Image width 240 mm, 240x240 px, Slice 92 of 155
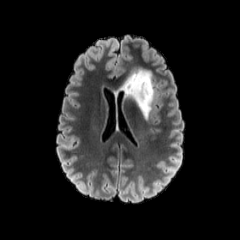
FLAIR MR.
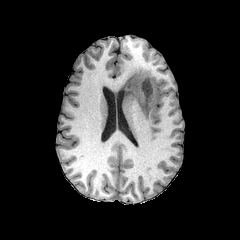
Same slice, T1-weighted MR image.
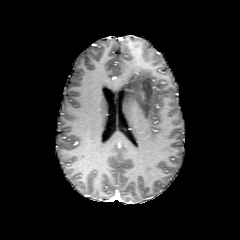
Same slice, post-contrast T1-weighted magnetic resonance.
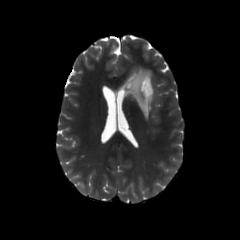
T2-weighted MRI of the same slice.
peritumoral edema: 121:69:155:118